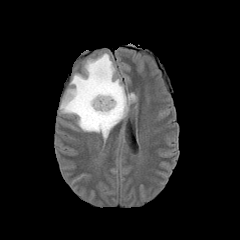
FLAIR MR image.
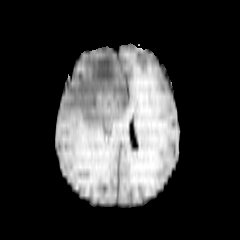
T1-weighted MR of the same slice.
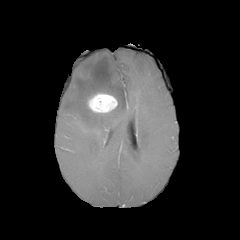
Same slice, post-contrast T1-weighted magnetic resonance.
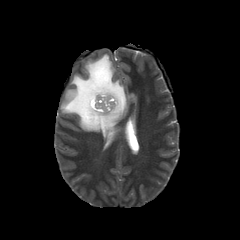
T2-weighted MR image.
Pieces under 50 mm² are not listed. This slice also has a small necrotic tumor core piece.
* enhancing tumor: box(87, 92, 117, 113)
* peritumoral edema: box(60, 53, 135, 138)